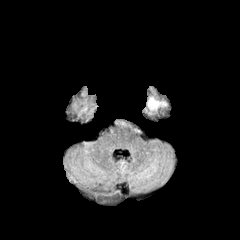
FLAIR MR.
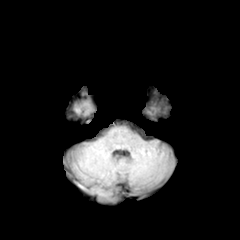
Same slice, T1-weighted MR.
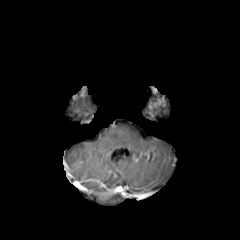
Post-contrast T1-weighted MR of the same slice.
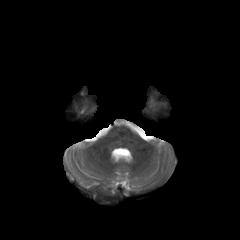
T2-weighted MRI.
Brain | 240x240 px | Axial view
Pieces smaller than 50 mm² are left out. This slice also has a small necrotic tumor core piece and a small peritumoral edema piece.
enhancing tumor at region(148, 99, 165, 109)